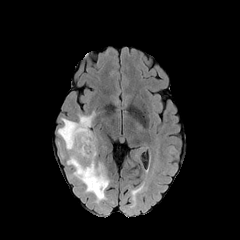
FLAIR MRI.
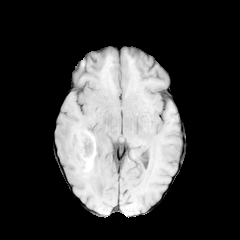
T1-weighted magnetic resonance.
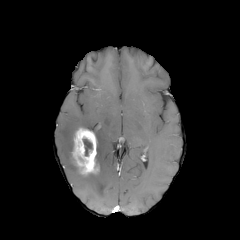
Post-contrast T1-weighted MR of the same slice.
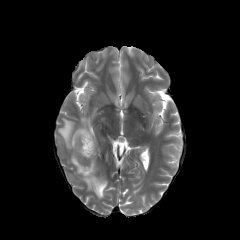
Same slice, T2-weighted MR.
Axial plane
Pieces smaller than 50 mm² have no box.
{
  "enhancing_tumor": [
    "72 127 98 174"
  ],
  "peritumoral_edema": [
    "57 111 109 202"
  ],
  "necrotic_tumor_core": [
    "83 139 92 155"
  ]
}